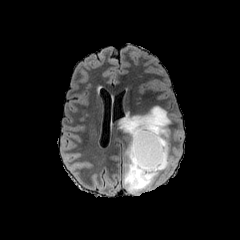
FLAIR MR image.
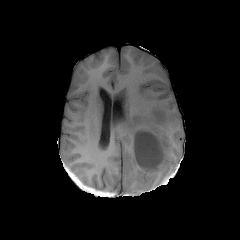
T1-weighted MR of the same slice.
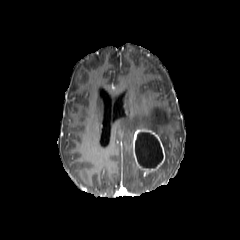
Same slice, post-contrast T1-weighted MRI.
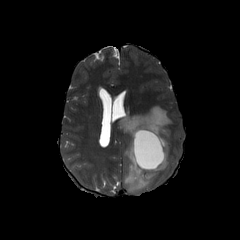
Same slice, T2-weighted MR image.
enhancing_tumor:
  - (133, 129, 165, 173)
necrotic_tumor_core:
  - (135, 132, 163, 168)
peritumoral_edema:
  - (118, 106, 172, 192)